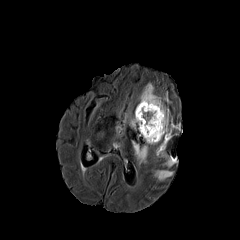
FLAIR magnetic resonance.
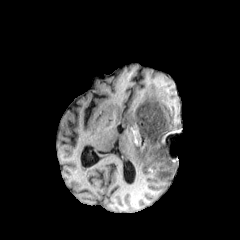
T1-weighted MRI of the same slice.
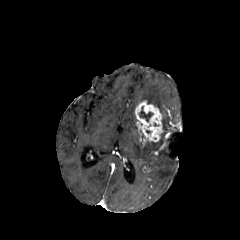
Same slice, post-contrast T1-weighted MR image.
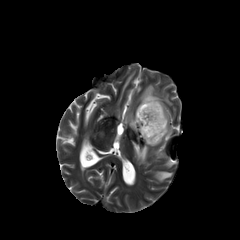
Same slice, T2-weighted MRI.
240x240. Brain.
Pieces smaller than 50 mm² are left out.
The largest necrotic tumor core region is at (139,106,153,121). The 2 largest enhancing tumor regions appear at (159,132,170,150), (135,100,164,142). The 5 largest peritumoral edema regions are bounded by (130,116,136,129), (154,170,172,180), (157,148,176,166), (132,141,158,163), (140,84,178,140).